FLAIR magnetic resonance.
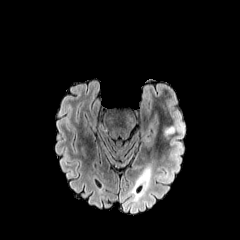
T1-weighted magnetic resonance.
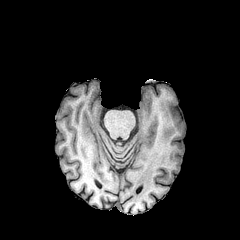
Post-contrast T1-weighted MR image.
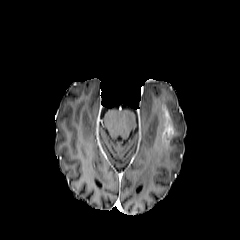
T2-weighted MR.
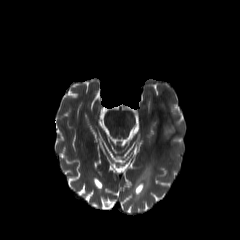
240x240.
- peritumoral edema: (154,96,185,156)
- enhancing tumor: (162,105,174,141)